FLAIR magnetic resonance.
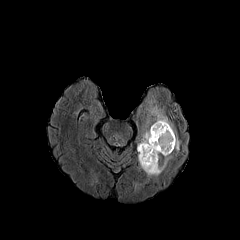
T1-weighted MRI.
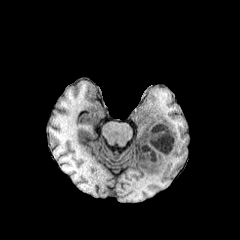
Post-contrast T1-weighted MR image.
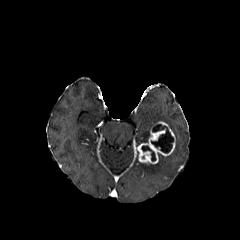
T2-weighted MRI.
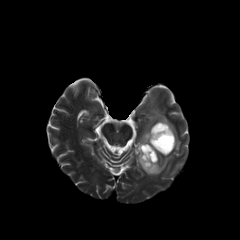
Head. Axial view. Image size 240x240.
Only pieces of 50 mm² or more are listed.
Findings:
• necrotic tumor core: bbox(151, 124, 173, 153); bbox(141, 145, 156, 161)
• enhancing tumor: bbox(137, 121, 175, 164)
• peritumoral edema: bbox(140, 155, 172, 177); bbox(141, 102, 180, 151)